240x240 px. Slice index 123. Brain.
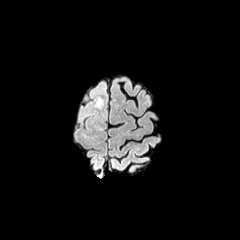
FLAIR magnetic resonance.
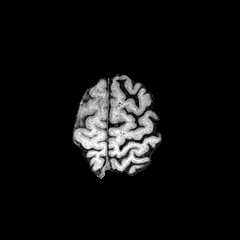
T1-weighted magnetic resonance of the same slice.
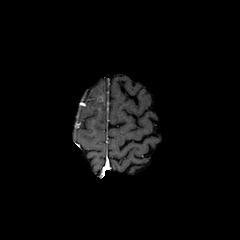
Post-contrast T1-weighted MR of the same slice.
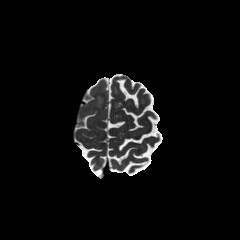
Same slice, T2-weighted magnetic resonance.
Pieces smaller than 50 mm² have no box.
• peritumoral edema: 96:96:102:108